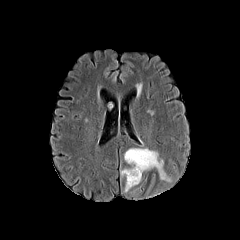
FLAIR MR.
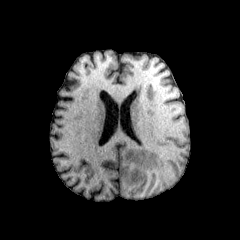
Same slice, T1-weighted MR.
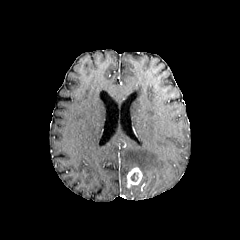
Post-contrast T1-weighted MRI of the same slice.
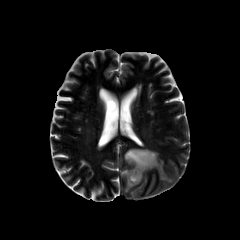
Same slice, T2-weighted MRI.
240x240 px, Axial slice, Head
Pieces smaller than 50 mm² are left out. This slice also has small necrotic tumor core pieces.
Findings:
- enhancing tumor: box(127, 167, 142, 188)
- peritumoral edema: box(121, 169, 130, 192); box(124, 148, 171, 182)